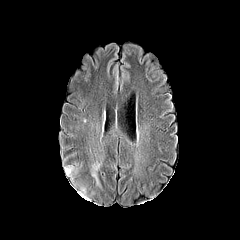
FLAIR MRI.
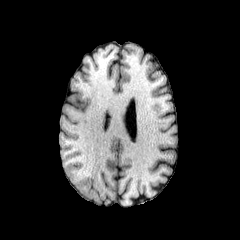
Same slice, T1-weighted magnetic resonance.
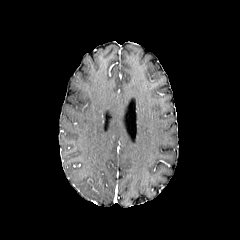
Post-contrast T1-weighted MR image.
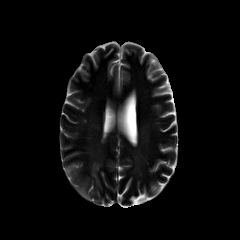
Same slice, T2-weighted MR.
Axial view. Brain.
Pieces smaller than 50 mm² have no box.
<segmentation>
  <peritumoral_edema>bbox(65, 166, 72, 174); bbox(92, 165, 97, 183)</peritumoral_edema>
</segmentation>